FLAIR MRI.
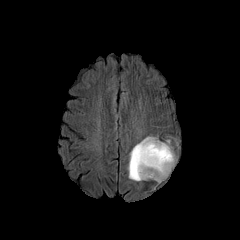
T1-weighted MR.
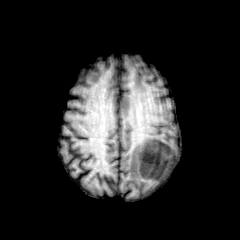
Post-contrast T1-weighted MR.
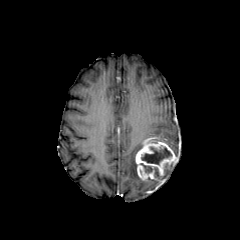
T2-weighted MR.
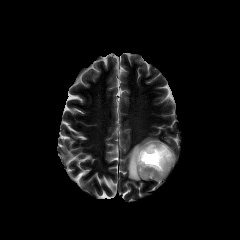
Brain, 240x240
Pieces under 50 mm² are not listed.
enhancing_tumor:
  - [x1=135, y1=137, x2=176, y2=181]
peritumoral_edema:
  - [x1=128, y1=136, x2=152, y2=181]
necrotic_tumor_core:
  - [x1=140, y1=163, x2=152, y2=172]
  - [x1=141, y1=147, x2=171, y2=164]